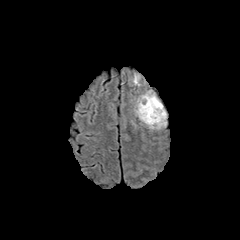
FLAIR MR.
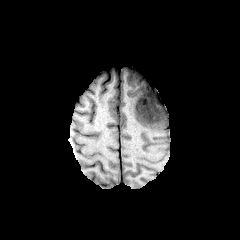
Same slice, T1-weighted MRI.
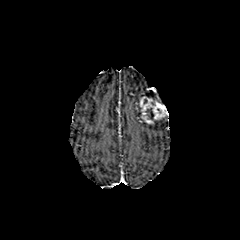
Post-contrast T1-weighted magnetic resonance of the same slice.
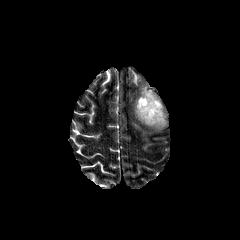
Same slice, T2-weighted magnetic resonance.
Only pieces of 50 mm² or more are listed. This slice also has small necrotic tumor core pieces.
- peritumoral edema: x1=139 y1=90 x2=156 y2=98, x1=148 y1=118 x2=166 y2=128
- enhancing tumor: x1=136 y1=96 x2=167 y2=124